Image size 240x240
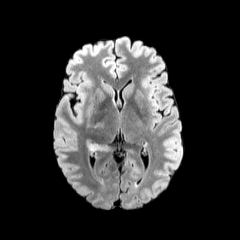
FLAIR magnetic resonance.
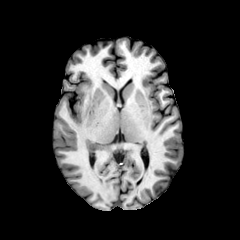
T1-weighted MRI.
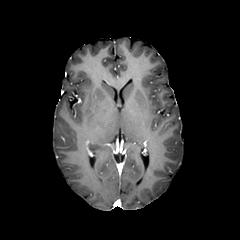
Post-contrast T1-weighted MR.
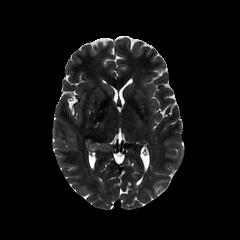
Same slice, T2-weighted MR image.
peritumoral edema = 86,140,108,151